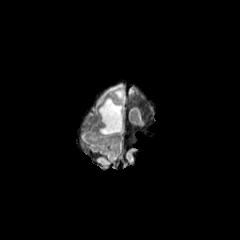
FLAIR magnetic resonance.
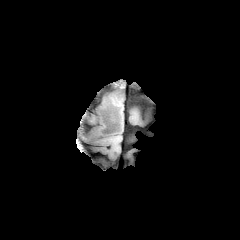
Same slice, T1-weighted MR.
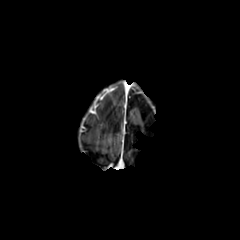
Post-contrast T1-weighted MR image of the same slice.
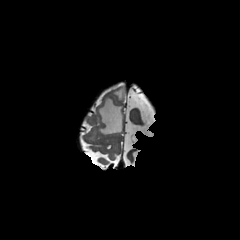
T2-weighted magnetic resonance.
Axial slice; Head
peritumoral edema: 98:83:124:134